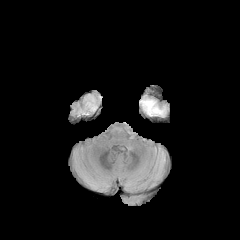
FLAIR MR image.
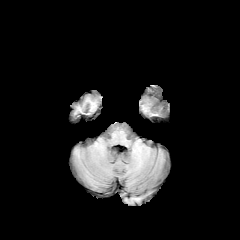
T1-weighted magnetic resonance of the same slice.
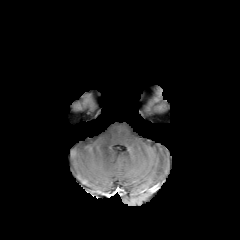
Post-contrast T1-weighted MR of the same slice.
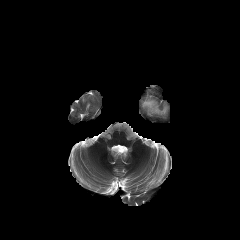
Same slice, T2-weighted MR image.
Axial plane
peritumoral edema: <box>141,96,167,116</box>